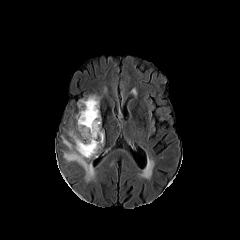
FLAIR MR.
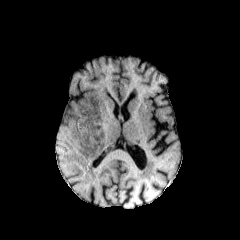
T1-weighted MR image.
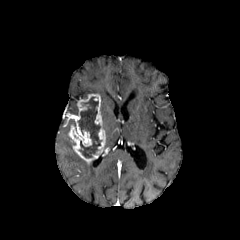
Post-contrast T1-weighted MR of the same slice.
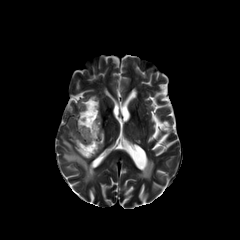
T2-weighted MR.
Brain | Image size 240x240 | Axial view
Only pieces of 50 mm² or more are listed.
peritumoral edema at bbox(61, 135, 95, 182)
enhancing tumor at bbox(68, 94, 105, 163)
necrotic tumor core at bbox(78, 97, 101, 157)